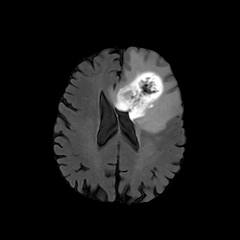
FLAIR MRI.
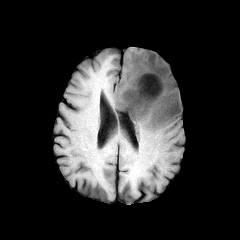
T1-weighted MRI.
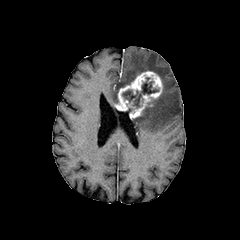
Post-contrast T1-weighted MR.
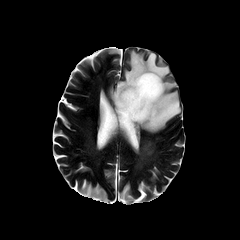
T2-weighted magnetic resonance of the same slice.
Axial slice. Head.
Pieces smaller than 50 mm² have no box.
Annotated regions:
- necrotic tumor core: left=122, top=81, right=158, bottom=107
- enhancing tumor: left=115, top=71, right=163, bottom=119
- peritumoral edema: left=109, top=50, right=181, bottom=133